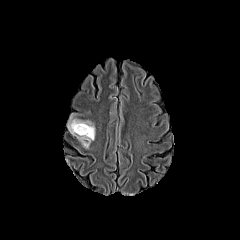
FLAIR MR image.
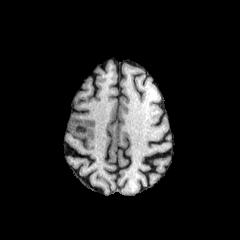
T1-weighted MR.
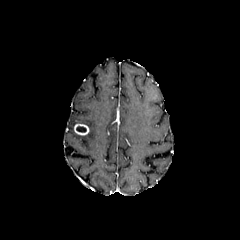
Post-contrast T1-weighted MR of the same slice.
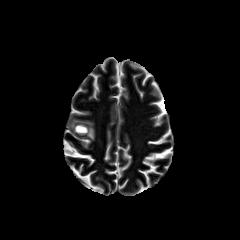
T2-weighted MR of the same slice.
240x240 px
The peritumoral edema is located at x1=67, y1=113, x2=95, y2=148. The enhancing tumor is at x1=74, y1=123, x2=89, y2=135. The necrotic tumor core appears at x1=76, y1=126, x2=86, y2=132.